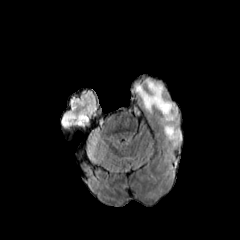
FLAIR MR.
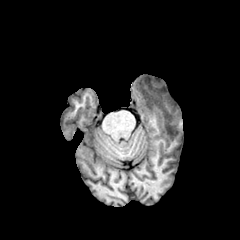
Same slice, T1-weighted MRI.
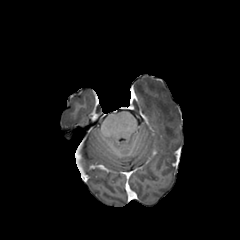
Post-contrast T1-weighted MR of the same slice.
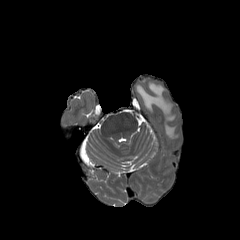
Same slice, T2-weighted magnetic resonance.
peritumoral edema = <box>135,79,180,139</box>